Slice 116/155
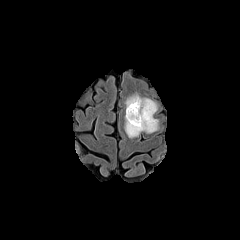
FLAIR MRI.
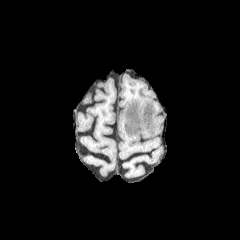
T1-weighted MR.
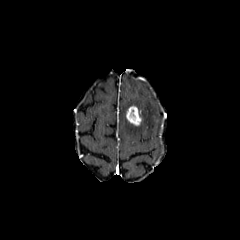
Post-contrast T1-weighted MR of the same slice.
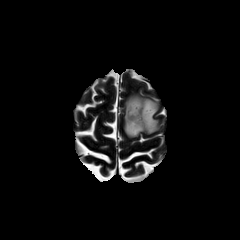
T2-weighted MR.
<segmentation>
  <peritumoral_edema>box(124, 95, 158, 137)</peritumoral_edema>
  <enhancing_tumor>box(126, 105, 142, 125)</enhancing_tumor>
</segmentation>